Image size 240x240
FLAIR MR.
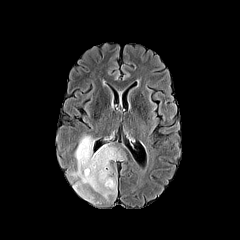
T1-weighted MR image.
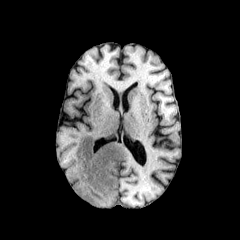
Post-contrast T1-weighted MR.
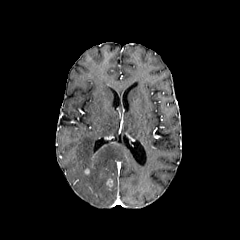
T2-weighted magnetic resonance.
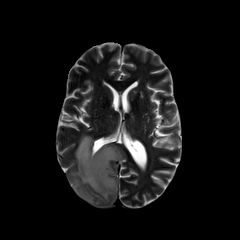
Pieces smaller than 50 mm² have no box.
The peritumoral edema is at x1=69, y1=135, x2=123, y2=203. The largest enhancing tumor region is bounded by x1=106, y1=178, x2=113, y2=187.